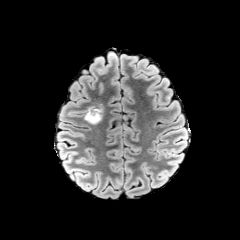
FLAIR MR.
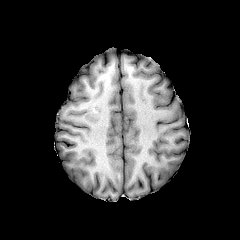
T1-weighted magnetic resonance.
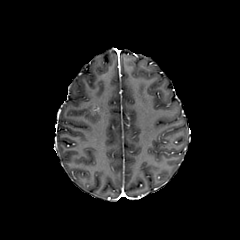
Same slice, post-contrast T1-weighted MR.
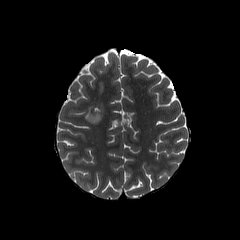
Same slice, T2-weighted MRI.
Brain
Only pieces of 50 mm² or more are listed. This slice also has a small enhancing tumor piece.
peritumoral_edema:
  - 84, 105, 103, 124